Image covers 240 mm x 240 mm; Head
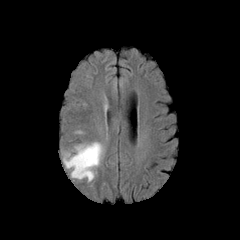
FLAIR MR image.
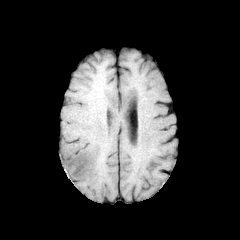
T1-weighted MR image.
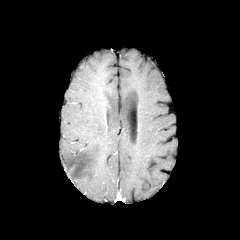
Same slice, post-contrast T1-weighted MR.
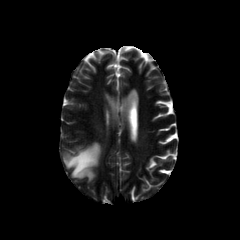
T2-weighted MR image of the same slice.
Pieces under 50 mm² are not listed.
peritumoral edema = 63 142 103 181